FLAIR MR image.
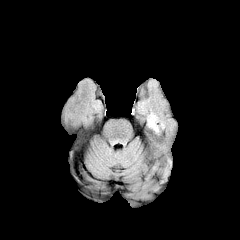
T1-weighted magnetic resonance.
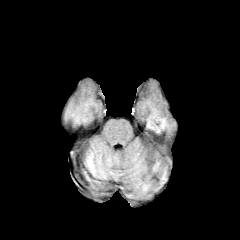
Post-contrast T1-weighted MR.
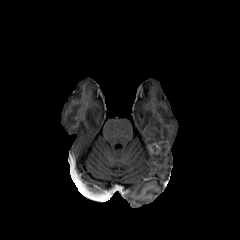
T2-weighted MR image.
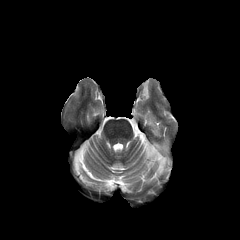
Axial view. Image size 240x240. Brain.
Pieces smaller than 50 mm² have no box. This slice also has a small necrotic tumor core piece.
enhancing tumor — (x1=149, y1=142, x2=160, y2=154)
peritumoral edema — (x1=159, y1=141, x2=167, y2=154), (x1=148, y1=114, x2=164, y2=133)